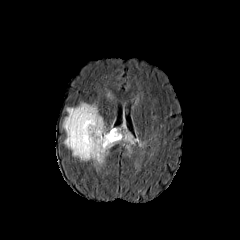
FLAIR MR.
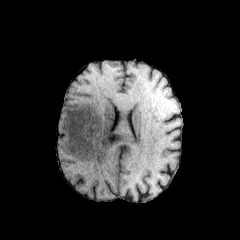
T1-weighted MR.
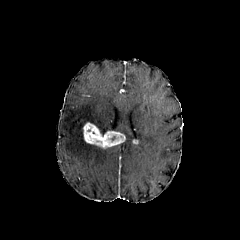
Post-contrast T1-weighted MRI.
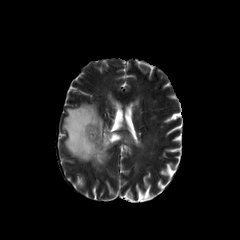
Same slice, T2-weighted MR.
Image size 240x240
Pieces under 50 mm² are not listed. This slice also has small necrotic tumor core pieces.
enhancing tumor at region(83, 122, 125, 148)
peritumoral edema at region(63, 102, 109, 171); region(122, 121, 146, 152)